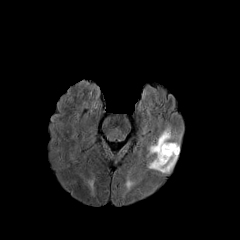
FLAIR MRI.
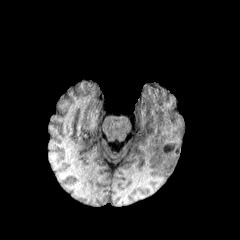
T1-weighted MR image of the same slice.
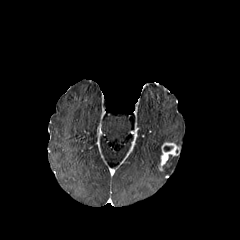
Same slice, post-contrast T1-weighted MR image.
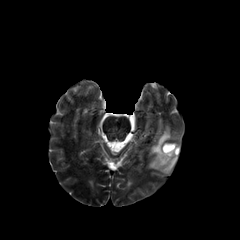
T2-weighted MRI of the same slice.
Head | Axial slice
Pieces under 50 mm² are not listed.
<segmentation>
  <necrotic_tumor_core>box(163, 145, 173, 152)</necrotic_tumor_core>
  <enhancing_tumor>box(158, 142, 180, 170)</enhancing_tumor>
  <peritumoral_edema>box(148, 126, 173, 170); box(161, 156, 177, 173)</peritumoral_edema>
</segmentation>